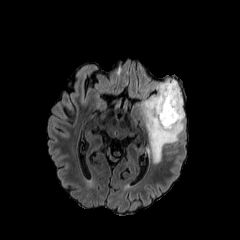
FLAIR MR image.
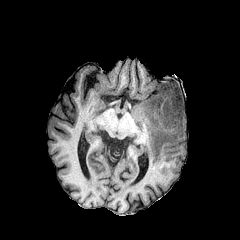
Same slice, T1-weighted magnetic resonance.
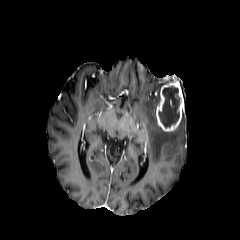
Post-contrast T1-weighted MRI.
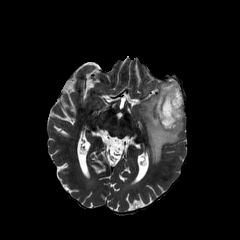
Same slice, T2-weighted MR image.
Brain
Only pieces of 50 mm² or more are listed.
The largest enhancing tumor region appears at <box>155,80,184,131</box>. The peritumoral edema is located at <box>141,79,185,163</box>. The necrotic tumor core is located at <box>158,86,180,127</box>.